Axial view, Slice index 49
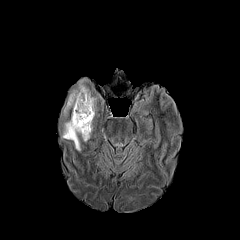
FLAIR MRI.
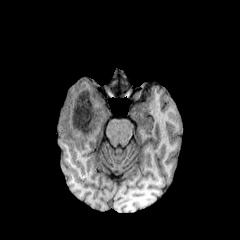
Same slice, T1-weighted MRI.
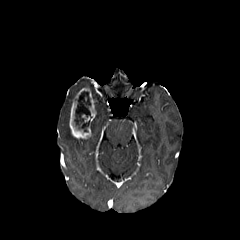
Post-contrast T1-weighted MRI.
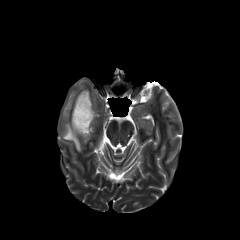
Same slice, T2-weighted MR image.
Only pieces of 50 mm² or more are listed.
enhancing_tumor:
  - 69, 88, 96, 138
necrotic_tumor_core:
  - 74, 91, 92, 131
peritumoral_edema:
  - 63, 79, 87, 117
  - 62, 122, 81, 151